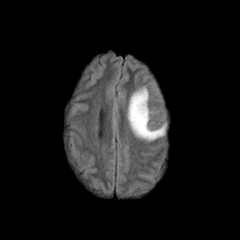
FLAIR MRI.
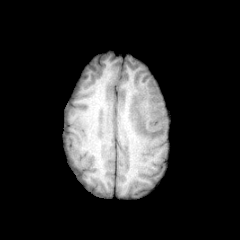
T1-weighted magnetic resonance of the same slice.
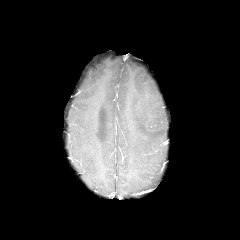
Post-contrast T1-weighted magnetic resonance.
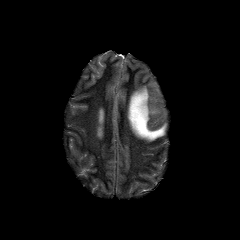
T2-weighted MR image of the same slice.
240x240 px.
Findings:
- peritumoral edema: left=127, top=86, right=166, bottom=141